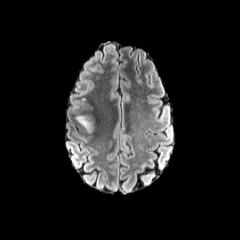
FLAIR magnetic resonance.
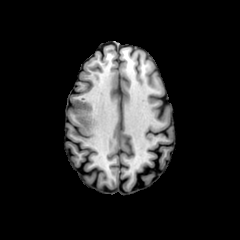
T1-weighted MRI.
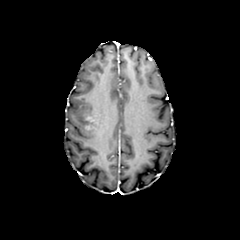
Post-contrast T1-weighted MR image.
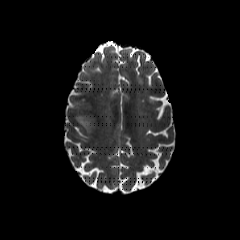
T2-weighted MRI.
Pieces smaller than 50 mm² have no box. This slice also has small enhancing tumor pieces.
peritumoral_edema:
  - 76,111,99,134
  - 74,135,89,141